Slice 84 of 155. Axial plane. Image covers 240 mm x 240 mm. Image size 240x240.
FLAIR magnetic resonance.
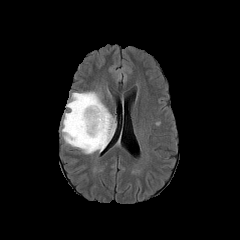
T1-weighted MR image.
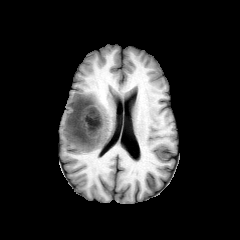
Post-contrast T1-weighted MRI.
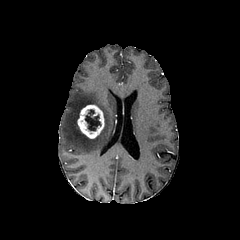
T2-weighted magnetic resonance.
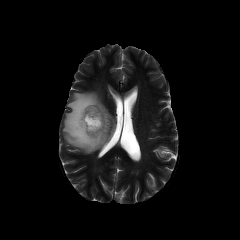
Annotated regions:
• peritumoral edema: 62,92,114,153
• enhancing tumor: 77,105,104,138
• necrotic tumor core: 85,109,100,130